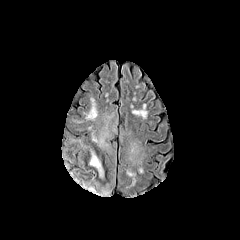
FLAIR MR image.
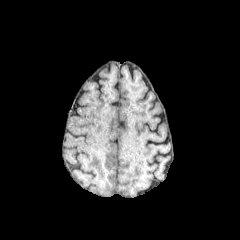
T1-weighted MR image of the same slice.
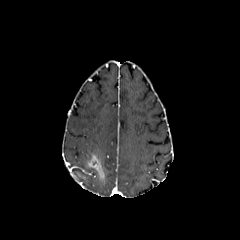
Post-contrast T1-weighted MR image of the same slice.
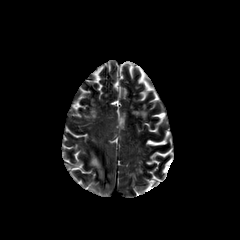
T2-weighted MR image of the same slice.
240x240, Head
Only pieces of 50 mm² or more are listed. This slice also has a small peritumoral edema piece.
The enhancing tumor is located at (89, 154, 103, 178).